Head. Axial slice.
FLAIR MRI.
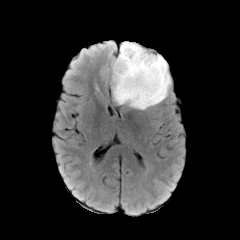
T1-weighted magnetic resonance.
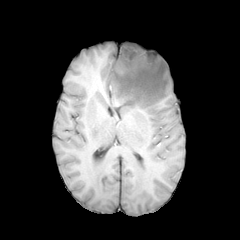
Post-contrast T1-weighted magnetic resonance.
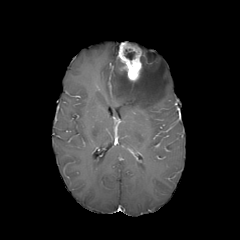
T2-weighted MRI.
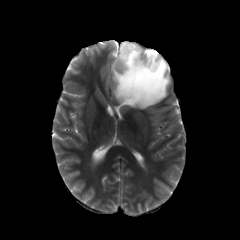
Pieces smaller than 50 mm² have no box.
<segmentation>
  <necrotic_tumor_core>(left=125, top=49, right=135, bottom=59)</necrotic_tumor_core>
  <peritumoral_edema>(left=112, top=49, right=170, bottom=109)</peritumoral_edema>
  <enhancing_tumor>(left=118, top=42, right=144, bottom=81)</enhancing_tumor>
</segmentation>